Slice index 104, Axial plane, Brain, 240x240
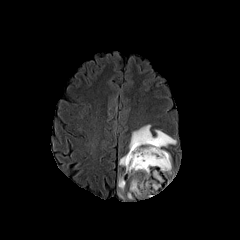
FLAIR MR image.
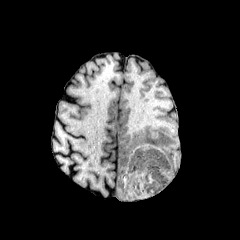
T1-weighted MR image.
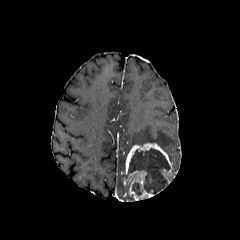
Same slice, post-contrast T1-weighted magnetic resonance.
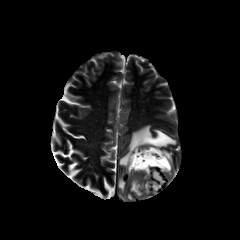
T2-weighted MR image.
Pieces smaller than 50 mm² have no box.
enhancing_tumor:
  - (left=123, top=142, right=172, bottom=199)
peritumoral_edema:
  - (left=118, top=176, right=124, bottom=198)
  - (left=119, top=155, right=126, bottom=166)
  - (left=128, top=125, right=176, bottom=150)
necrotic_tumor_core:
  - (left=128, top=149, right=170, bottom=192)
  - (left=132, top=182, right=141, bottom=195)